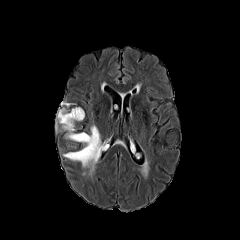
FLAIR MRI.
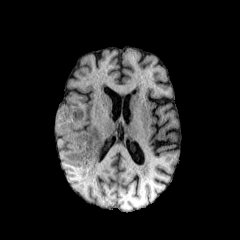
T1-weighted MR.
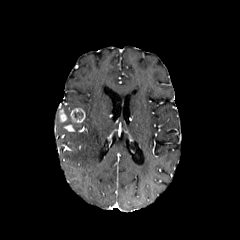
Same slice, post-contrast T1-weighted MRI.
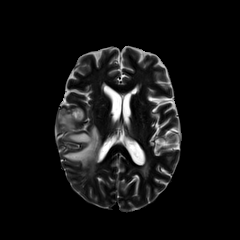
Same slice, T2-weighted MR.
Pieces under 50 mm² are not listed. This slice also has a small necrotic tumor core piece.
3 enhancing tumor regions appear at rect(69, 108, 85, 122); rect(64, 124, 74, 131); rect(59, 109, 67, 122). The 2 largest peritumoral edema regions appear at rect(56, 108, 74, 130); rect(63, 125, 101, 167).